Axial plane; Brain
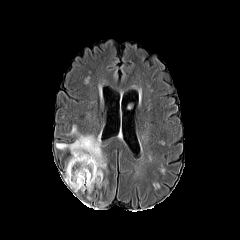
FLAIR magnetic resonance.
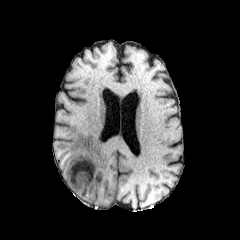
T1-weighted MRI of the same slice.
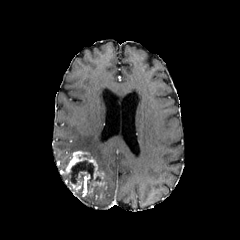
Same slice, post-contrast T1-weighted MR image.
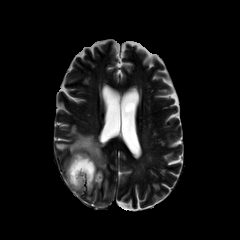
Same slice, T2-weighted MR.
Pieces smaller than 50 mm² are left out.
<segmentation>
  <necrotic_tumor_core>x1=68, y1=160, x2=94, y2=185</necrotic_tumor_core>
  <peritumoral_edema>x1=56, y1=124, x2=107, y2=173</peritumoral_edema>
  <enhancing_tumor>x1=78, y1=172, x2=89, y2=187; x1=64, y1=151, x2=105, y2=186; x1=69, y1=180, x2=81, y2=191</enhancing_tumor>
</segmentation>